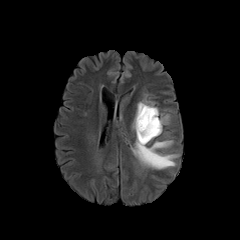
FLAIR MRI.
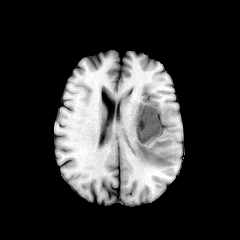
Same slice, T1-weighted MR.
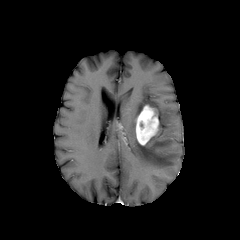
Post-contrast T1-weighted MR image of the same slice.
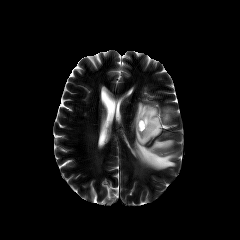
T2-weighted MR image.
Brain
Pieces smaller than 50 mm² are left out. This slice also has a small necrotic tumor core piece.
The enhancing tumor lies within x1=136, y1=105, x2=159, y2=145. 3 peritumoral edema regions appear at x1=131, y1=137, x2=178, y2=169; x1=132, y1=100, x2=159, y2=132; x1=150, y1=113, x2=170, y2=140.